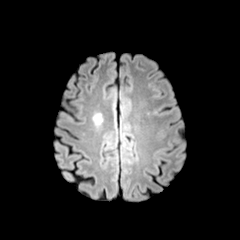
FLAIR MR image.
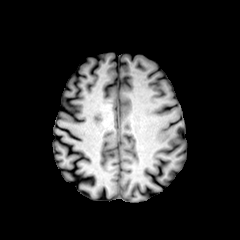
T1-weighted MR image.
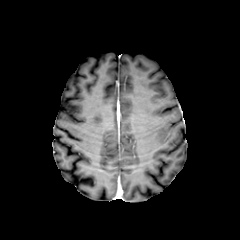
Same slice, post-contrast T1-weighted MR image.
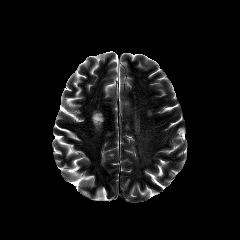
T2-weighted MRI.
Axial view; Image size 240x240; Brain
The peritumoral edema lies within l=93, t=114, r=101, b=124.